FLAIR MRI.
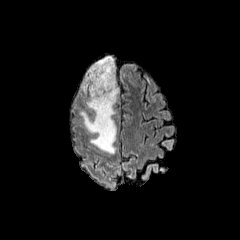
T1-weighted MRI.
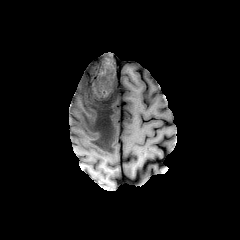
Post-contrast T1-weighted magnetic resonance.
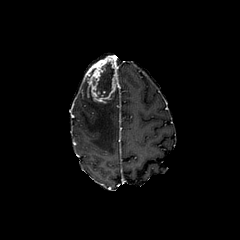
T2-weighted magnetic resonance.
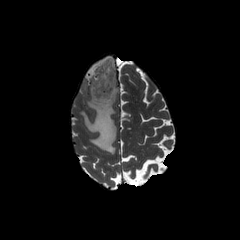
Head; 240x240 px
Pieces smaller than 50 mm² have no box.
<segmentation>
  <peritumoral_edema>box=[80, 55, 118, 153]</peritumoral_edema>
  <enhancing_tumor>box=[85, 56, 118, 103]</enhancing_tumor>
  <necrotic_tumor_core>box=[93, 62, 114, 97]</necrotic_tumor_core>
</segmentation>